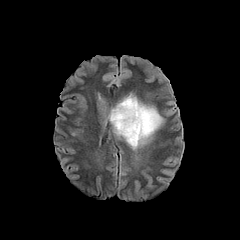
FLAIR MR image.
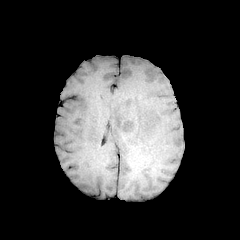
Same slice, T1-weighted magnetic resonance.
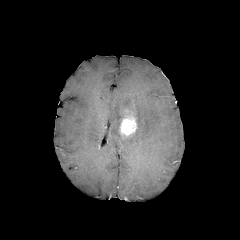
Post-contrast T1-weighted magnetic resonance.
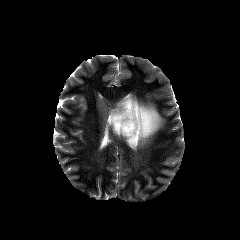
T2-weighted MR.
Head, 240x240 px
The enhancing tumor lies within (x1=119, y1=110, x2=137, y2=136). The peritumoral edema appears at (x1=108, y1=94, x2=163, y2=149).